Head, Axial plane
FLAIR magnetic resonance.
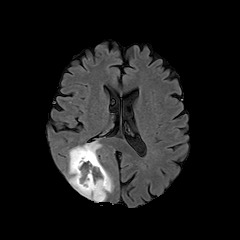
T1-weighted MRI.
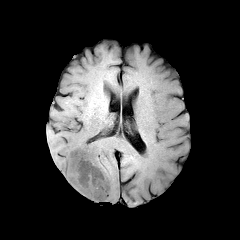
Post-contrast T1-weighted MR.
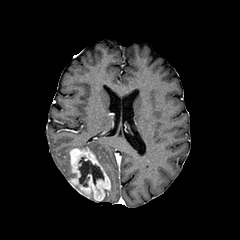
T2-weighted magnetic resonance.
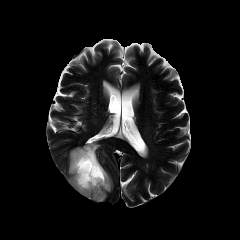
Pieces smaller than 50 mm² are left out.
<segmentation>
  <enhancing_tumor>70,148,110,201</enhancing_tumor>
  <necrotic_tumor_core>78,157,103,186</necrotic_tumor_core>
  <peritumoral_edema>67,150,75,180; 101,169,113,201; 75,141,101,162</peritumoral_edema>
</segmentation>